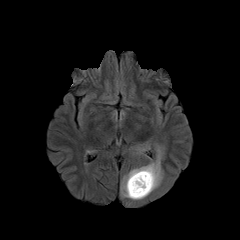
FLAIR MR.
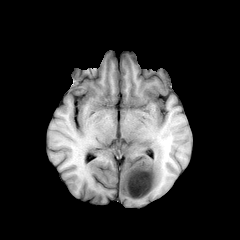
Same slice, T1-weighted MR.
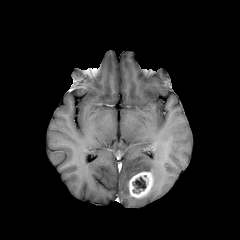
Post-contrast T1-weighted MR.
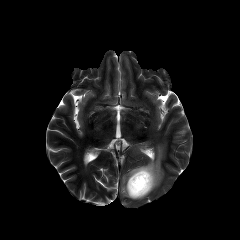
Same slice, T2-weighted MR image.
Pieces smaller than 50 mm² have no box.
The peritumoral edema lies within <box>120,145,163,200</box>. The largest enhancing tumor region appears at <box>128,171,154,198</box>. The largest necrotic tumor core region is located at <box>132,177,146,193</box>.